Brain
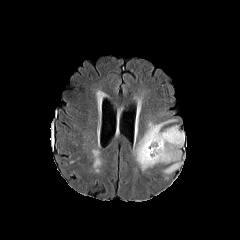
FLAIR MR image.
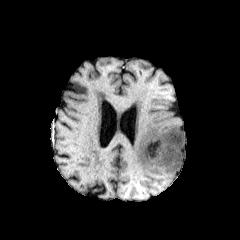
T1-weighted MR image.
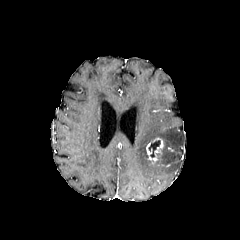
Post-contrast T1-weighted MR image of the same slice.
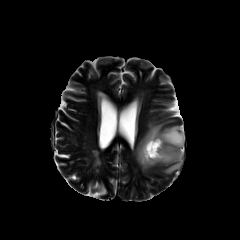
Same slice, T2-weighted MR image.
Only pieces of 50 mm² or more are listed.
The largest necrotic tumor core region appears at 148 140 160 157. The peritumoral edema is bounded by 133 119 184 174. The enhancing tumor is at 146 137 163 163.